Image covers 240 mm x 240 mm. Head. Axial slice. 240x240.
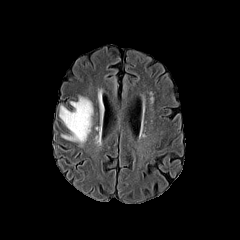
FLAIR MRI.
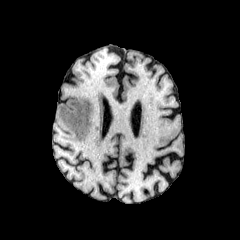
Same slice, T1-weighted MRI.
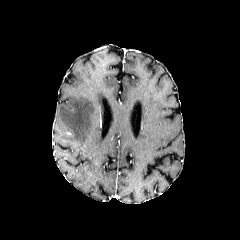
Post-contrast T1-weighted MRI of the same slice.
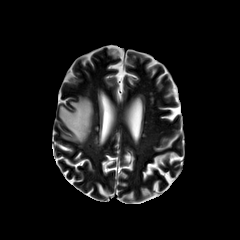
T2-weighted MR image.
peritumoral edema: [59, 96, 93, 145]